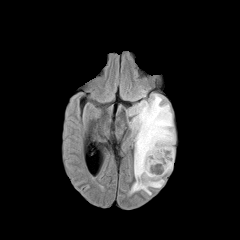
FLAIR magnetic resonance.
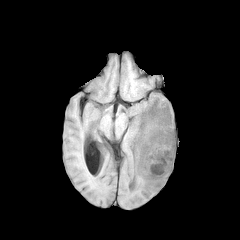
T1-weighted MR image.
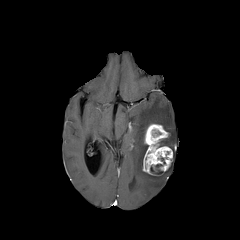
Post-contrast T1-weighted magnetic resonance of the same slice.
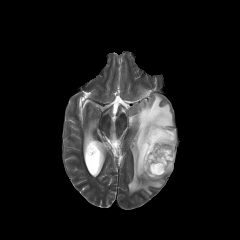
T2-weighted MR of the same slice.
Axial view | Brain | 240x240
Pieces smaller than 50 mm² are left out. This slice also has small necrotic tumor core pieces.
peritumoral edema: bounding box x1=128, y1=93, x2=175, y2=194
enhancing tumor: bounding box x1=142, y1=124, x2=173, y2=175